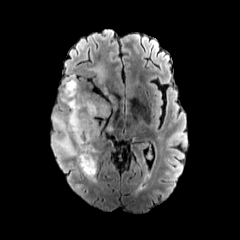
FLAIR magnetic resonance.
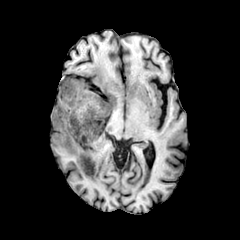
T1-weighted magnetic resonance.
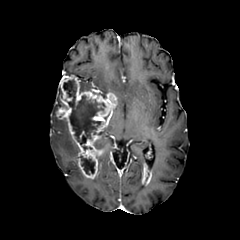
Post-contrast T1-weighted MR.
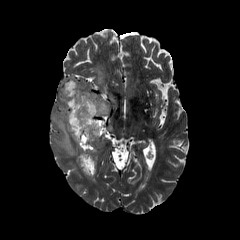
T2-weighted MRI.
Axial slice, Brain
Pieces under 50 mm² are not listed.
enhancing tumor = bbox=[141, 164, 151, 185]; bbox=[56, 75, 117, 179]
peritumoral edema = bbox=[52, 112, 79, 162]; bbox=[91, 66, 104, 83]
necrotic tumor core = bbox=[80, 156, 95, 174]; bbox=[63, 80, 103, 145]